FLAIR MR image.
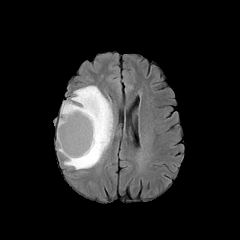
T1-weighted magnetic resonance.
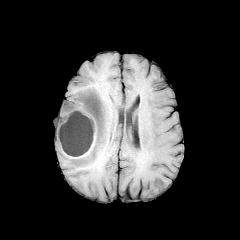
Post-contrast T1-weighted MR.
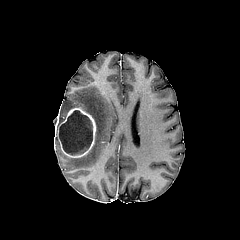
T2-weighted magnetic resonance.
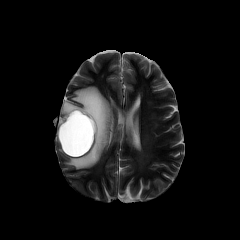
Axial view, Brain
The necrotic tumor core is at (left=59, top=110, right=92, bottom=155). The enhancing tumor lies within (left=57, top=107, right=96, bottom=157). The peritumoral edema appears at (left=57, top=86, right=112, bottom=169).